FLAIR MRI.
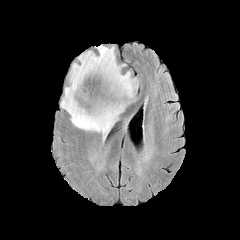
T1-weighted MR.
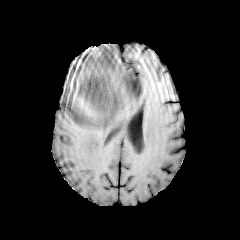
Post-contrast T1-weighted MR image.
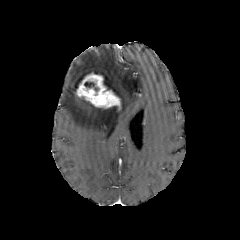
T2-weighted MR image.
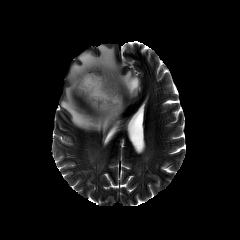
Brain.
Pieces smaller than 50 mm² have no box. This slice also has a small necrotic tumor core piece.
enhancing tumor — <bbox>76, 72, 121, 109</bbox>
peritumoral edema — <bbox>61, 45, 139, 137</bbox>